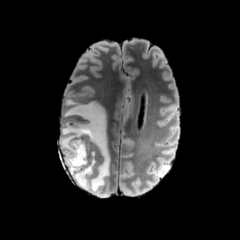
FLAIR MR image.
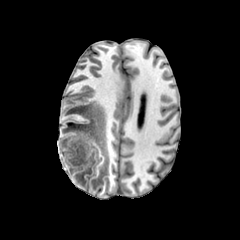
T1-weighted MR.
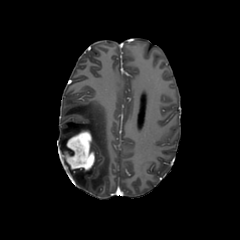
Post-contrast T1-weighted MR of the same slice.
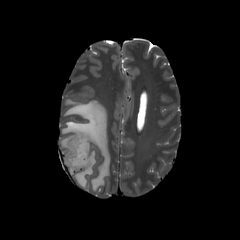
T2-weighted MR image.
Head, Axial plane
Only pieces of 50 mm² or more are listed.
<segmentation>
  <enhancing_tumor>63, 130, 94, 171</enhancing_tumor>
  <peritumoral_edema>59, 99, 110, 193</peritumoral_edema>
</segmentation>